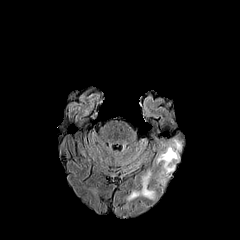
FLAIR MRI.
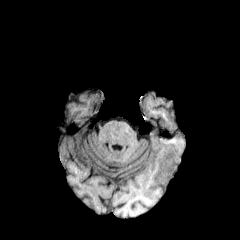
T1-weighted MR image of the same slice.
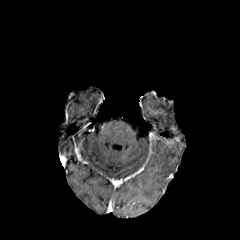
Post-contrast T1-weighted MR of the same slice.
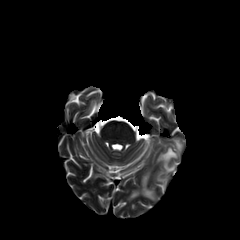
Same slice, T2-weighted magnetic resonance.
Axial view. Brain.
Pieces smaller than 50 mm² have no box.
peritumoral edema: {"x1": 128, "y1": 172, "x2": 154, "y2": 199}, {"x1": 157, "y1": 147, "x2": 178, "y2": 173}, {"x1": 175, "y1": 140, "x2": 181, "y2": 150}